Image width 240 mm | Head | Axial slice | Slice index 44
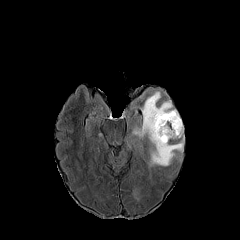
FLAIR MR image.
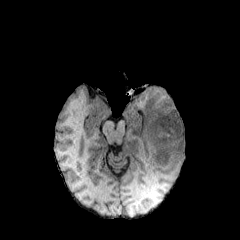
T1-weighted MR image of the same slice.
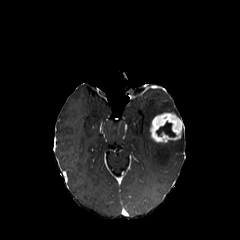
Same slice, post-contrast T1-weighted MR.
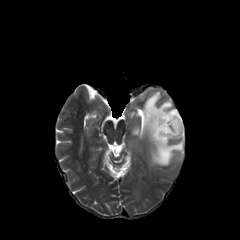
Same slice, T2-weighted MRI.
The peritumoral edema appears at [x1=132, y1=91, x2=184, y2=166]. The necrotic tumor core lies within [x1=156, y1=121, x2=175, y2=136]. The enhancing tumor lies within [x1=150, y1=112, x2=184, y2=142].